Axial view, Brain
FLAIR MRI.
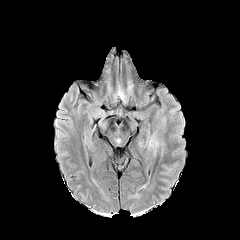
T1-weighted MR.
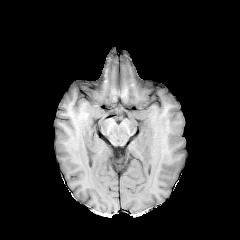
Post-contrast T1-weighted MR image.
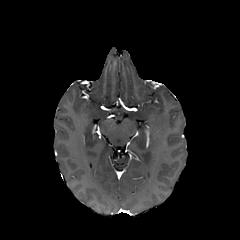
T2-weighted MR image.
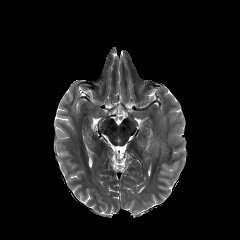
peritumoral edema at x1=149, y1=135, x2=162, y2=154